Slice 85 of 155. 240x240 px.
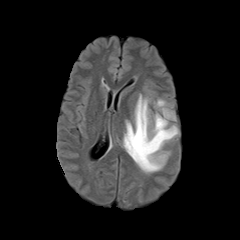
FLAIR MR image.
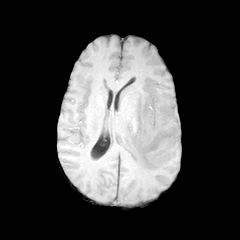
T1-weighted MR image of the same slice.
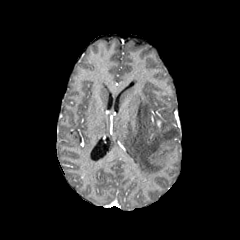
Same slice, post-contrast T1-weighted MR image.
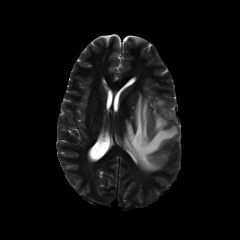
T2-weighted MRI.
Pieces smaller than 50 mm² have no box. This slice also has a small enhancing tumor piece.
peritumoral edema: 123,90,179,173